FLAIR MRI.
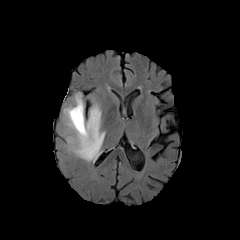
T1-weighted MR.
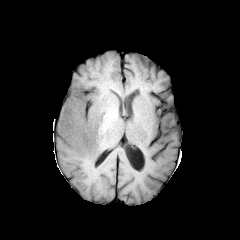
Post-contrast T1-weighted MR.
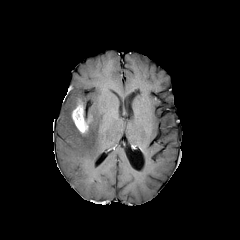
T2-weighted MR image.
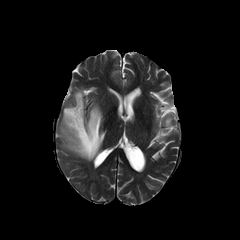
240x240 px. Brain.
peritumoral_edema:
  - <bbox>60, 91, 105, 162</bbox>
enhancing_tumor:
  - <bbox>71, 99, 91, 134</bbox>